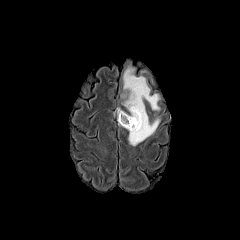
FLAIR magnetic resonance.
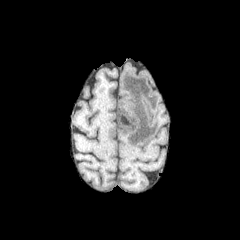
T1-weighted MR.
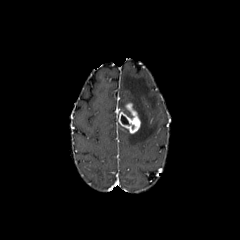
Post-contrast T1-weighted MR.
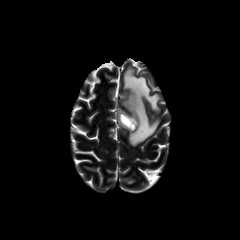
T2-weighted MR image.
Brain, Axial plane
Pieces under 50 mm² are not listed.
<segmentation>
  <necrotic_tumor_core>left=121, top=115, right=129, bottom=125</necrotic_tumor_core>
  <peritumoral_edema>left=120, top=62, right=161, bottom=146</peritumoral_edema>
  <enhancing_tumor>left=117, top=103, right=140, bottom=133</enhancing_tumor>
</segmentation>